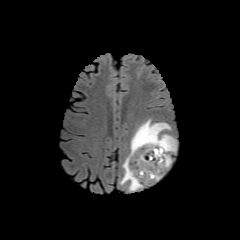
FLAIR MR image.
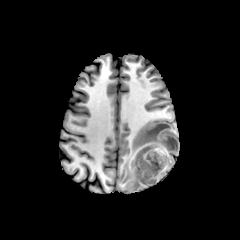
T1-weighted MR image.
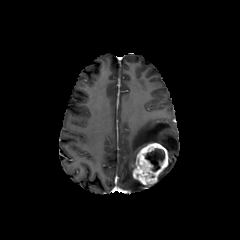
Post-contrast T1-weighted MR.
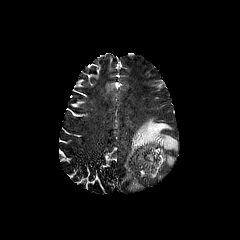
T2-weighted MR image.
240x240, Axial view
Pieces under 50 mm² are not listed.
necrotic tumor core: 145 149 164 171
peritumoral edema: 120 119 177 190
enhancing tumor: 132 143 169 184